FLAIR MR.
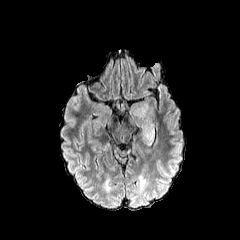
T1-weighted MR.
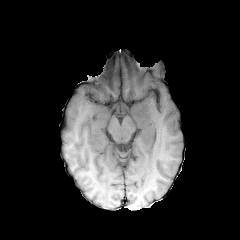
Post-contrast T1-weighted magnetic resonance.
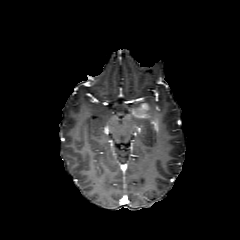
T2-weighted magnetic resonance.
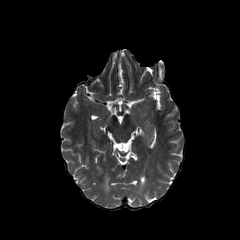
Brain
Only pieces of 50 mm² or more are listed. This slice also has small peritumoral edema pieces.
* enhancing tumor: 132:103:149:118